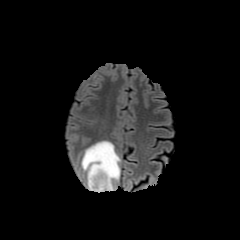
FLAIR MR.
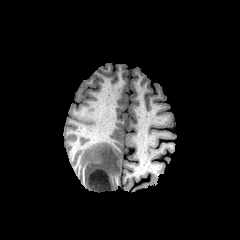
T1-weighted MR image.
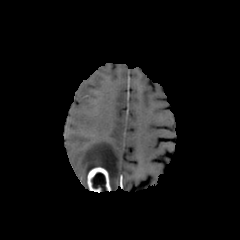
Post-contrast T1-weighted MRI of the same slice.
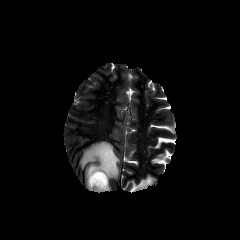
Same slice, T2-weighted magnetic resonance.
240x240 px | Head | Axial slice
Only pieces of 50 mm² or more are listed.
Findings:
• necrotic tumor core: l=91, t=172, r=106, b=191
• enhancing tumor: l=87, t=167, r=111, b=192
• peritumoral edema: l=81, t=141, r=120, b=190